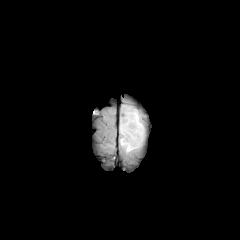
FLAIR magnetic resonance.
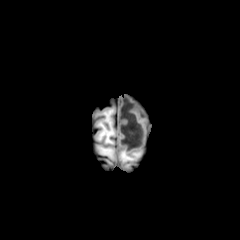
Same slice, T1-weighted MRI.
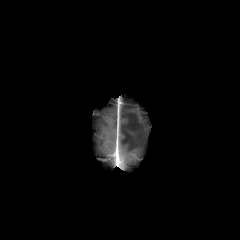
Post-contrast T1-weighted magnetic resonance of the same slice.
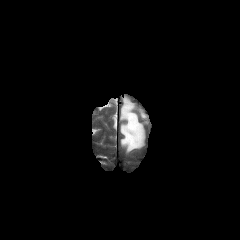
T2-weighted magnetic resonance.
240x240 px
The peritumoral edema appears at left=121, top=105, right=143, bottom=151.